Brain
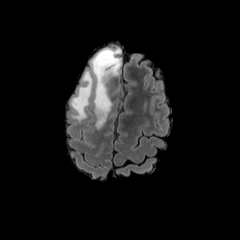
FLAIR MR.
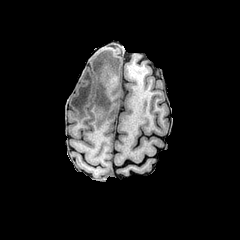
T1-weighted MR.
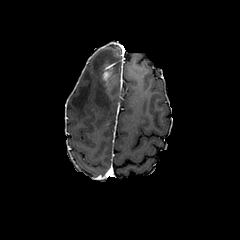
Post-contrast T1-weighted magnetic resonance.
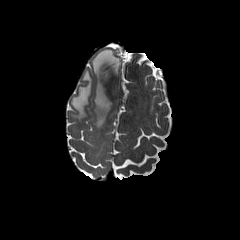
T2-weighted MRI.
{"enhancing_tumor": ["(102, 64, 113, 81)"], "peritumoral_edema": ["(91, 43, 122, 128)", "(71, 70, 93, 121)"]}